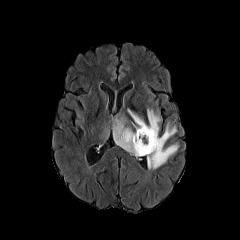
FLAIR MR.
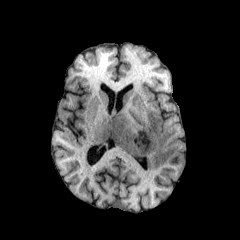
T1-weighted MR of the same slice.
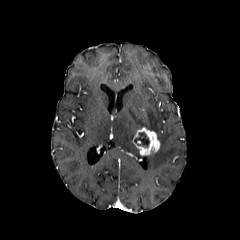
Same slice, post-contrast T1-weighted MR image.
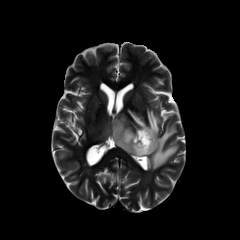
Same slice, T2-weighted MR image.
Axial plane.
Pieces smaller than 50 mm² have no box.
Findings:
* enhancing tumor: [x1=132, y1=127, x2=160, y2=155]
* necrotic tumor core: [x1=134, y1=132, x2=149, y2=147]
* peritumoral edema: [x1=113, y1=116, x2=140, y2=156], [x1=127, y1=108, x2=160, y2=135], [x1=147, y1=122, x2=178, y2=169]